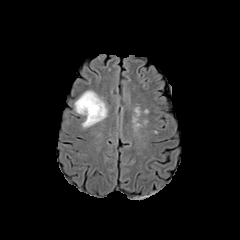
FLAIR MR image.
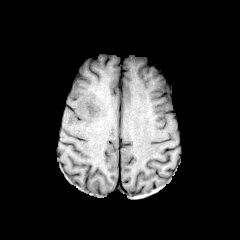
Same slice, T1-weighted MR.
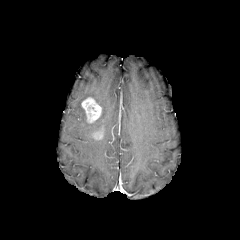
Post-contrast T1-weighted magnetic resonance of the same slice.
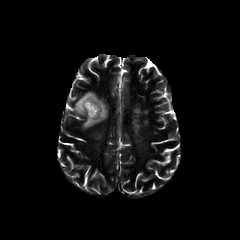
T2-weighted MRI.
240x240 px, Axial plane
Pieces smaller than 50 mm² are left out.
Findings:
- enhancing tumor: rect(81, 97, 101, 122)
- peritumoral edema: rect(74, 91, 107, 128)